Axial slice
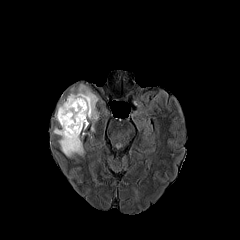
FLAIR MR image.
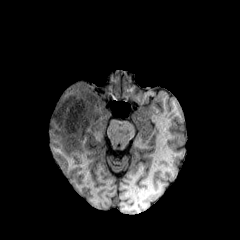
T1-weighted magnetic resonance of the same slice.
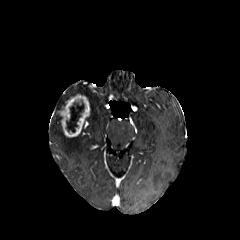
Same slice, post-contrast T1-weighted magnetic resonance.
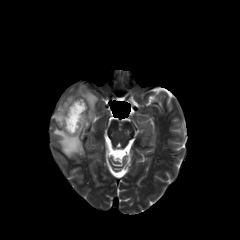
Same slice, T2-weighted MR image.
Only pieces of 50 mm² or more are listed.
The largest necrotic tumor core region lies within box(66, 100, 84, 132). The 3 largest peritumoral edema regions are located at box(53, 127, 84, 157); box(57, 96, 64, 110); box(66, 84, 98, 131). The largest enhancing tumor region is located at box(58, 94, 90, 137).